Image covers 240 mm x 240 mm, Axial slice, Head, Slice index 76
FLAIR MR.
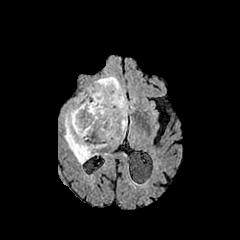
T1-weighted magnetic resonance.
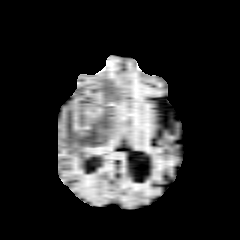
Post-contrast T1-weighted MRI.
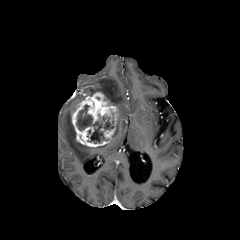
T2-weighted MR image.
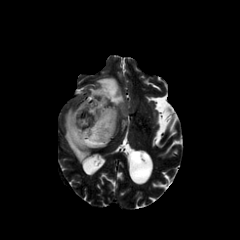
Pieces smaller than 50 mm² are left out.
{
  "necrotic_tumor_core": [
    "bbox(77, 105, 113, 143)"
  ],
  "enhancing_tumor": [
    "bbox(71, 92, 118, 147)"
  ],
  "peritumoral_edema": [
    "bbox(87, 76, 131, 133)",
    "bbox(64, 107, 107, 163)"
  ]
}